Axial view; Slice 79/155
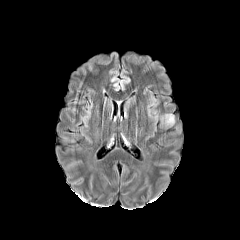
FLAIR MR image.
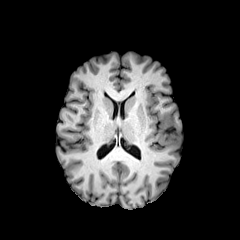
T1-weighted MR.
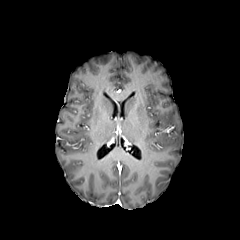
Post-contrast T1-weighted MR image.
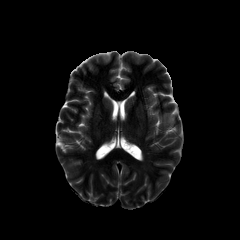
T2-weighted MR.
The peritumoral edema appears at [165,114,174,124].